FLAIR MR.
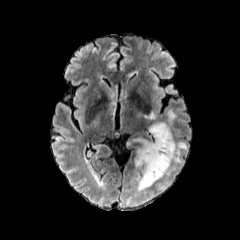
T1-weighted magnetic resonance.
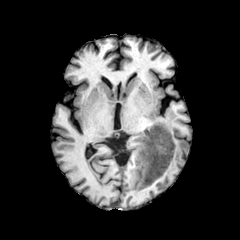
Post-contrast T1-weighted magnetic resonance.
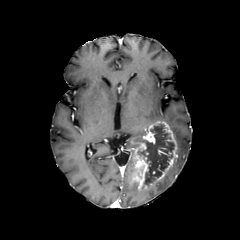
T2-weighted magnetic resonance.
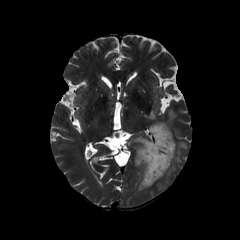
240x240
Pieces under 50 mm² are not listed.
The largest enhancing tumor region is bounded by <bbox>131, 120, 178, 190</bbox>. The necrotic tumor core is at <bbox>139, 124, 174, 184</bbox>. The 3 largest peritumoral edema regions are located at <bbox>165, 141, 188, 175</bbox>, <bbox>144, 112, 157, 121</bbox>, <bbox>166, 110, 176, 129</bbox>.